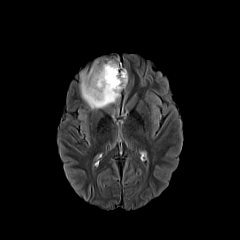
FLAIR MRI.
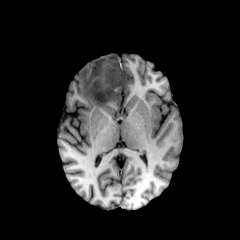
T1-weighted MR image.
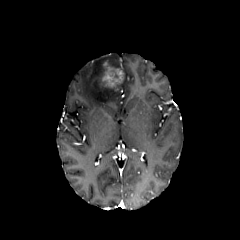
Post-contrast T1-weighted MRI.
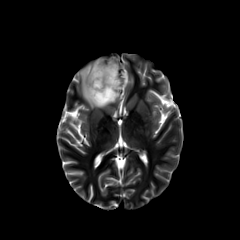
T2-weighted MR image.
Axial view
peritumoral edema: 79, 58, 128, 109
enhancing tumor: 101, 63, 124, 87